FLAIR MR.
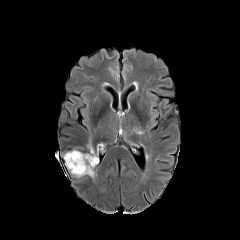
T1-weighted MR.
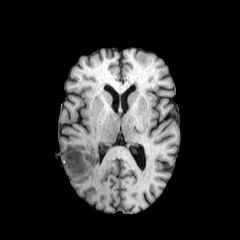
Post-contrast T1-weighted MRI.
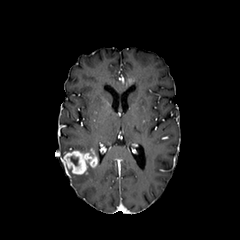
T2-weighted MR.
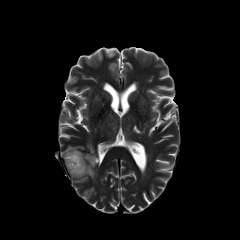
Brain, Image size 240x240
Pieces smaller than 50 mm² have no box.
necrotic tumor core = box=[70, 156, 78, 165]
enhancing tumor = box=[63, 149, 98, 174]
peritumoral edema = box=[68, 165, 94, 177]